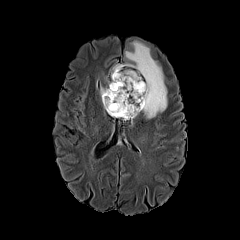
FLAIR MR.
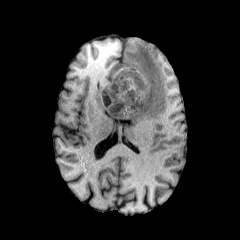
T1-weighted MR.
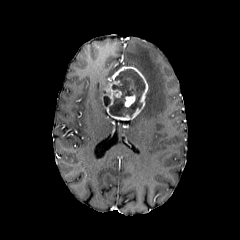
Post-contrast T1-weighted magnetic resonance.
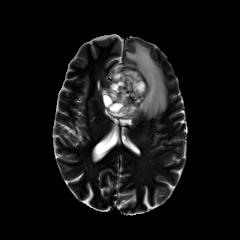
Same slice, T2-weighted MR image.
240x240; Axial slice
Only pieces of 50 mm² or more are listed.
The 2 largest necrotic tumor core regions are bounded by bbox=[109, 69, 144, 116]; bbox=[103, 96, 110, 106]. The 2 largest enhancing tumor regions are bounded by bbox=[124, 94, 135, 106]; bbox=[102, 66, 148, 119]. The largest peritumoral edema region is at bbox=[111, 41, 167, 118].